FLAIR magnetic resonance.
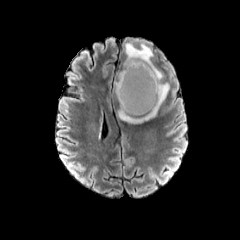
T1-weighted MR image.
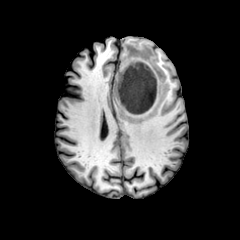
Post-contrast T1-weighted magnetic resonance.
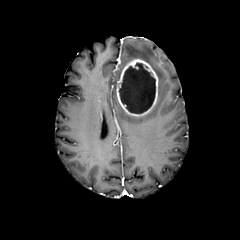
T2-weighted MR image.
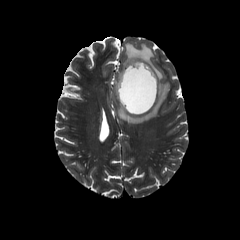
Image size 240x240, Brain
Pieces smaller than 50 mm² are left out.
peritumoral edema: 118:42:169:123 | enhancing tumor: 116:59:158:116 | necrotic tumor core: 119:63:155:113